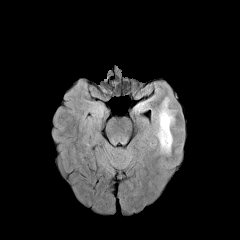
FLAIR magnetic resonance.
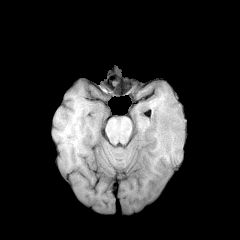
T1-weighted magnetic resonance.
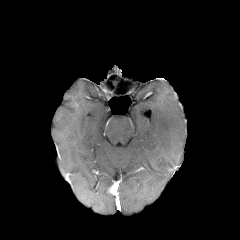
Post-contrast T1-weighted MR.
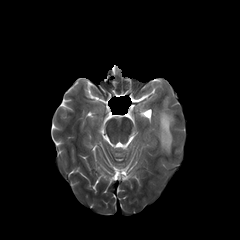
T2-weighted MR image.
240x240
peritumoral_edema:
  - x1=131 y1=95 x2=154 y2=112
  - x1=156 y1=96 x2=175 y2=153